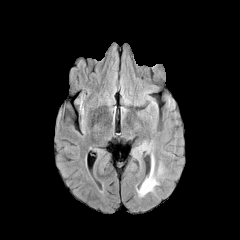
FLAIR MR image.
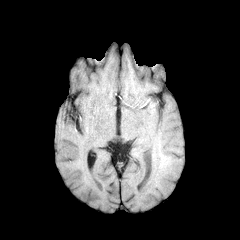
T1-weighted magnetic resonance.
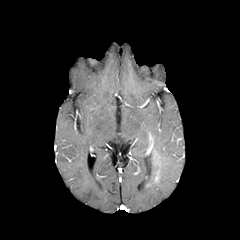
Same slice, post-contrast T1-weighted MRI.
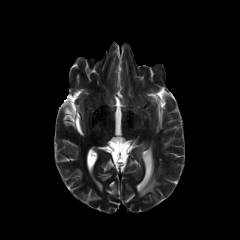
T2-weighted MRI.
Brain; Axial slice; 240x240 px
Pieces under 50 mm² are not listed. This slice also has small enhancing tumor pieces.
{
  "peritumoral_edema": [
    "x1=137 y1=141 x2=159 y2=196"
  ]
}